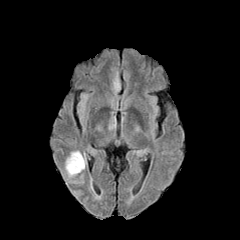
FLAIR MR image.
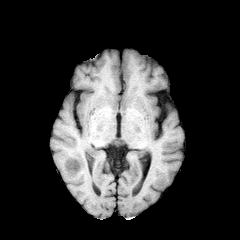
T1-weighted magnetic resonance of the same slice.
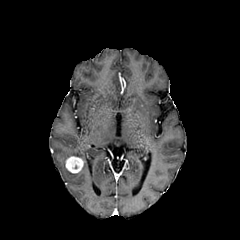
Post-contrast T1-weighted MRI of the same slice.
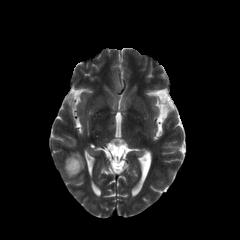
T2-weighted MR image.
240x240.
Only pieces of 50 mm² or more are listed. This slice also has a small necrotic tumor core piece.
enhancing tumor at box(65, 156, 83, 173)
peritumoral edema at box(63, 150, 85, 182)